FLAIR MR.
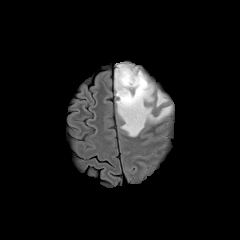
T1-weighted MRI.
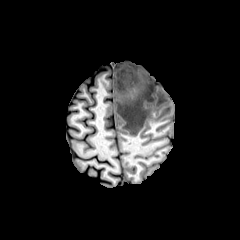
Post-contrast T1-weighted MRI.
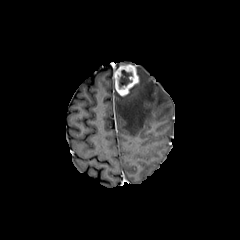
T2-weighted MR image.
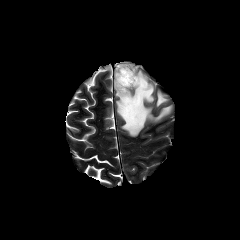
Head. Axial plane.
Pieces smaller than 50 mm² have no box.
The necrotic tumor core is bounded by box(118, 70, 132, 88). The 2 largest peritumoral edema regions are bounded by box(115, 67, 172, 136); box(155, 90, 168, 107). The enhancing tumor appears at box(114, 64, 138, 95).